FLAIR MRI.
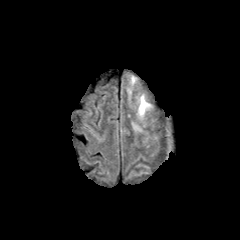
T1-weighted MRI.
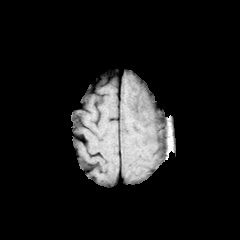
Post-contrast T1-weighted magnetic resonance.
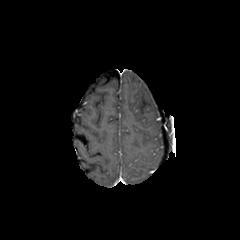
T2-weighted magnetic resonance.
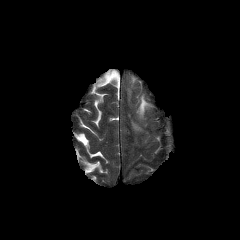
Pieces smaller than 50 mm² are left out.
The largest peritumoral edema region lies within <bbox>138, 95, 150, 117</bbox>.